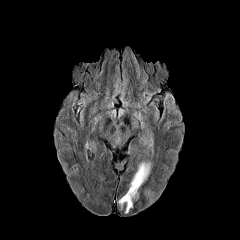
FLAIR MR.
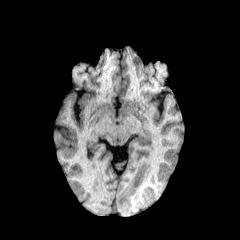
Same slice, T1-weighted MR.
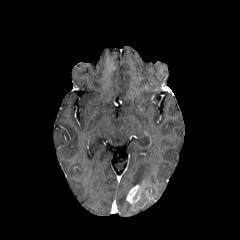
Post-contrast T1-weighted magnetic resonance.
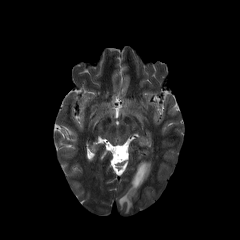
Same slice, T2-weighted MR image.
Axial plane; Brain
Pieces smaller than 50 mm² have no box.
enhancing tumor = bbox=[126, 185, 139, 203]
peritumoral edema = bbox=[117, 192, 132, 213]; bbox=[128, 160, 153, 191]